240x240, Axial slice
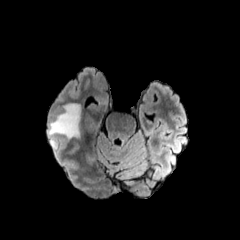
FLAIR MRI.
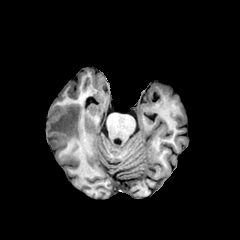
T1-weighted MR image.
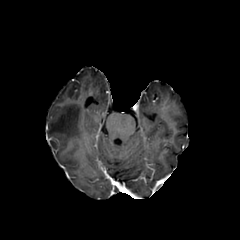
Post-contrast T1-weighted MR.
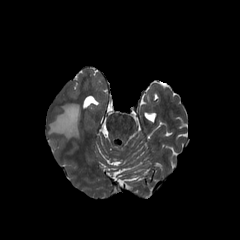
Same slice, T2-weighted MRI.
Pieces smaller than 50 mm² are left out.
The largest peritumoral edema region is at box=[48, 104, 80, 138].